Axial plane | Head
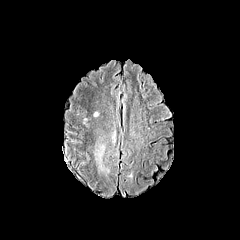
FLAIR MR.
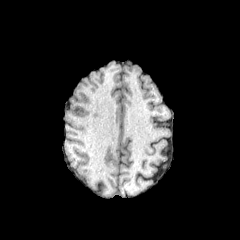
Same slice, T1-weighted MR.
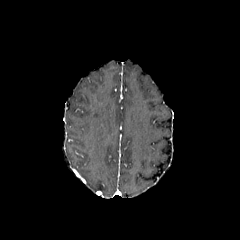
Post-contrast T1-weighted MRI of the same slice.
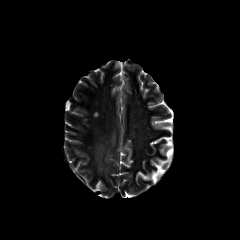
T2-weighted magnetic resonance.
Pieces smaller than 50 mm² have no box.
<segmentation>
  <peritumoral_edema>{"x1": 95, "y1": 145, "x2": 104, "y2": 169}</peritumoral_edema>
</segmentation>